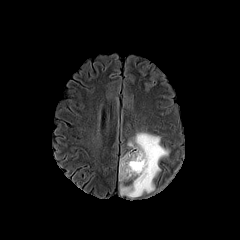
FLAIR MR image.
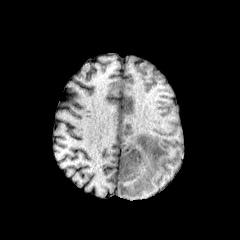
T1-weighted MR image of the same slice.
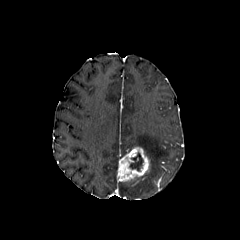
Post-contrast T1-weighted MRI.
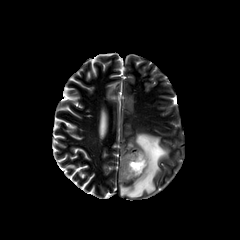
T2-weighted MRI.
Head; 240x240; Axial slice
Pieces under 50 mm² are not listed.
The largest enhancing tumor region is at l=118, t=146, r=150, b=181. The peritumoral edema is at l=120, t=132, r=168, b=198. The necrotic tumor core is bounded by l=130, t=153, r=142, b=170.